Axial slice | Head
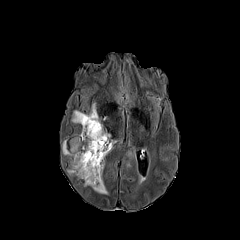
FLAIR MR.
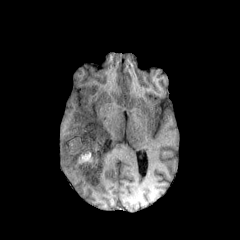
T1-weighted MR.
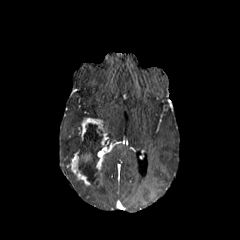
Post-contrast T1-weighted MR.
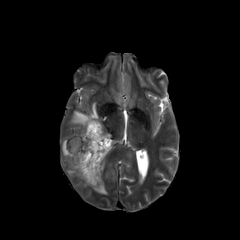
T2-weighted MRI.
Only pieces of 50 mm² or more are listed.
necrotic tumor core = region(78, 123, 102, 186)
peritumoral edema = region(62, 134, 82, 161); region(91, 160, 107, 194); region(71, 103, 98, 123)
enhancing tumor = region(68, 117, 121, 186)